240x240. Image width 240 mm, 1.00 mm slice spacing. Slice 56 of 155.
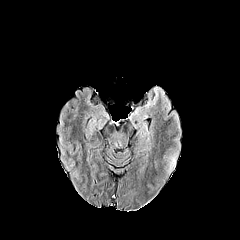
FLAIR MRI.
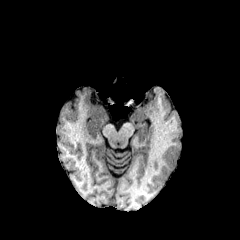
T1-weighted MR.
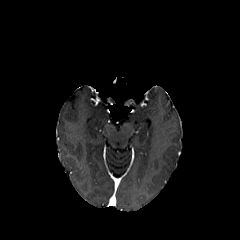
Same slice, post-contrast T1-weighted magnetic resonance.
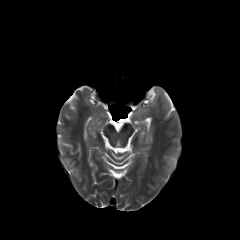
Same slice, T2-weighted magnetic resonance.
- peritumoral edema: (170,156,175,169)